Slice 93 of 155, Image size 240x240, Brain, Axial slice
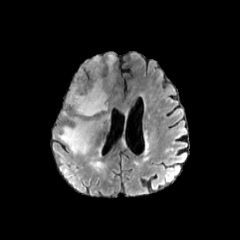
FLAIR MR.
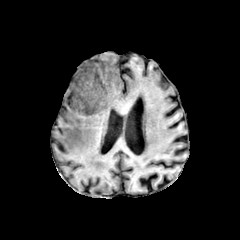
T1-weighted MR of the same slice.
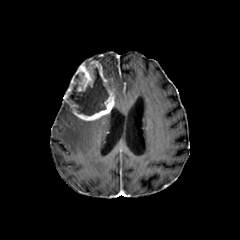
Post-contrast T1-weighted magnetic resonance.
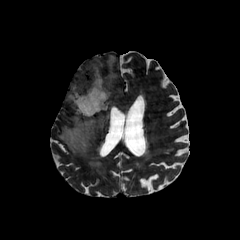
T2-weighted MR of the same slice.
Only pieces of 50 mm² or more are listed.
necrotic_tumor_core:
  - left=68, top=67, right=108, bottom=115
peritumoral_edema:
  - left=107, top=54, right=115, bottom=80
  - left=58, top=116, right=101, bottom=154
enhancing_tumor:
  - left=64, top=60, right=114, bottom=120